FLAIR magnetic resonance.
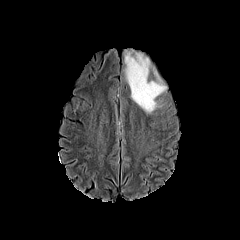
T1-weighted magnetic resonance.
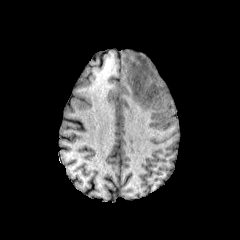
Post-contrast T1-weighted MR image.
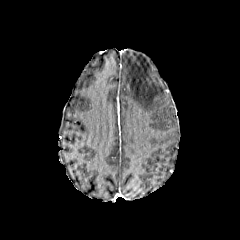
T2-weighted MR.
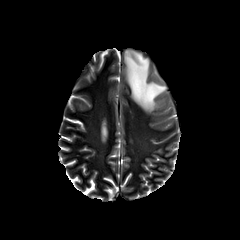
Axial plane. Brain.
Findings:
* peritumoral edema: {"x1": 123, "y1": 49, "x2": 167, "y2": 113}